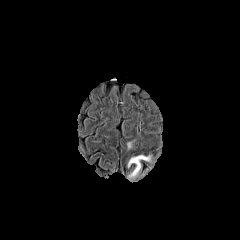
FLAIR magnetic resonance.
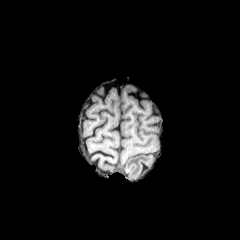
T1-weighted MR image of the same slice.
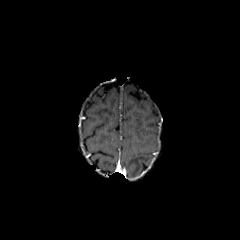
Post-contrast T1-weighted magnetic resonance of the same slice.
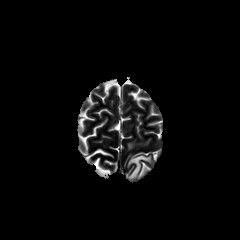
Same slice, T2-weighted MR.
Axial view
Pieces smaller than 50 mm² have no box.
peritumoral_edema:
  - (x1=127, y1=154, x2=151, y2=178)